FLAIR magnetic resonance.
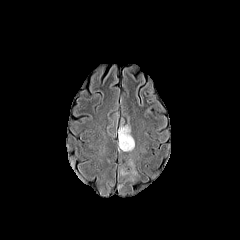
T1-weighted MR.
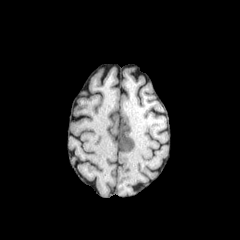
Post-contrast T1-weighted MRI.
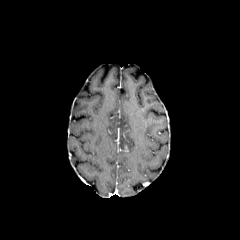
T2-weighted MR.
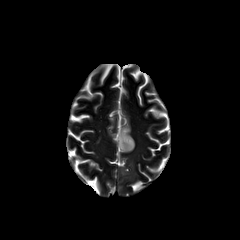
Brain
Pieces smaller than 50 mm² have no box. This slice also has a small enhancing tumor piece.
Annotated regions:
• peritumoral edema: bbox=[118, 125, 134, 151]; bbox=[120, 161, 136, 180]